Head
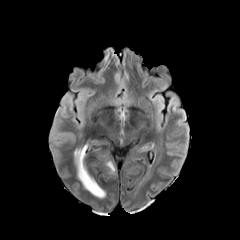
FLAIR magnetic resonance.
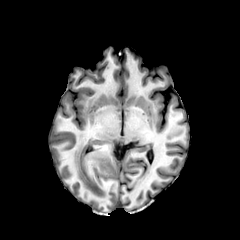
T1-weighted MR image of the same slice.
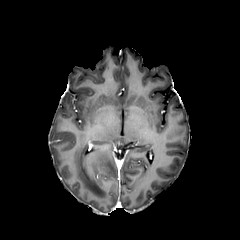
Post-contrast T1-weighted MR.
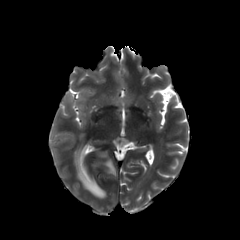
T2-weighted MRI.
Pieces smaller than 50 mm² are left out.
<segmentation>
  <peritumoral_edema>rect(105, 160, 115, 174); rect(74, 144, 105, 198)</peritumoral_edema>
</segmentation>